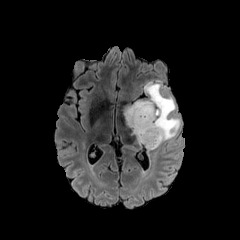
FLAIR MRI.
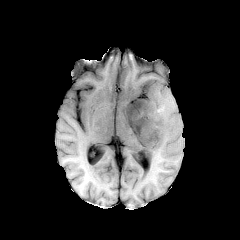
T1-weighted MR image of the same slice.
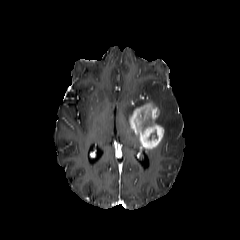
Post-contrast T1-weighted MR of the same slice.
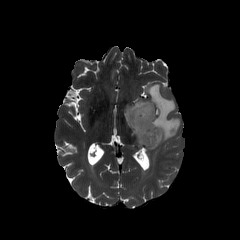
T2-weighted magnetic resonance.
Axial view, Head
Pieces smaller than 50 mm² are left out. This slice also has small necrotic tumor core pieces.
Annotated regions:
* enhancing tumor: box=[129, 102, 164, 149]
* peritumoral edema: box=[124, 80, 180, 156]